Axial view | Slice 95 of 155
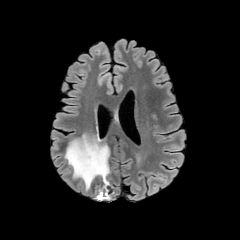
FLAIR magnetic resonance.
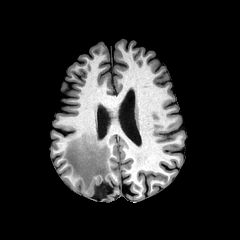
T1-weighted MR image.
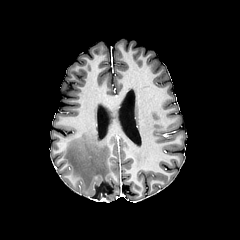
Post-contrast T1-weighted MR.
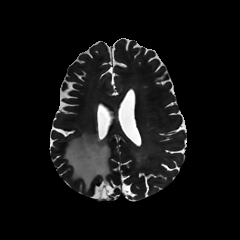
T2-weighted MRI.
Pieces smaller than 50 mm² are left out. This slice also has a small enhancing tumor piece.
peritumoral edema = (64,134,110,199)